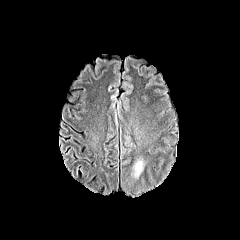
FLAIR MR.
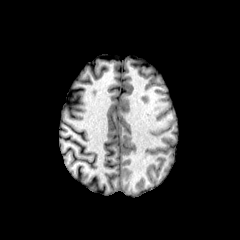
T1-weighted MR of the same slice.
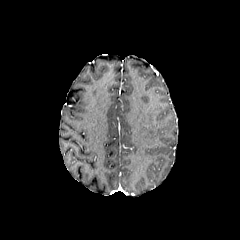
Same slice, post-contrast T1-weighted magnetic resonance.
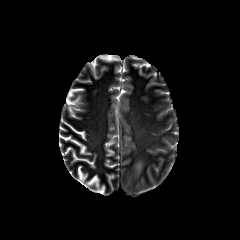
T2-weighted MRI of the same slice.
Axial plane, Image size 240x240
{"peritumoral_edema": ["[x1=134, y1=158, x2=144, y2=177]"]}